Head, 240x240, Axial slice
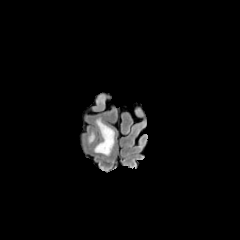
FLAIR MR.
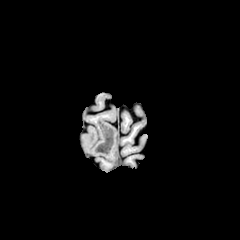
T1-weighted MR image of the same slice.
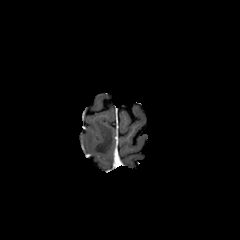
Post-contrast T1-weighted magnetic resonance.
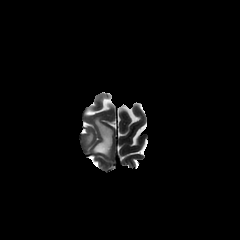
T2-weighted MRI.
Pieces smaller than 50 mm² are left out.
The largest peritumoral edema region is located at x1=94 y1=119 x2=114 y2=155.